Axial plane. Brain.
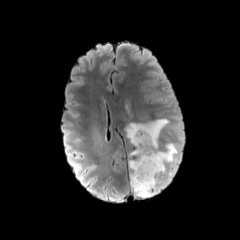
FLAIR MR.
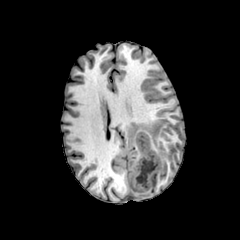
T1-weighted MR of the same slice.
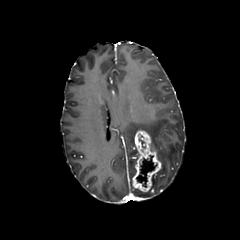
Same slice, post-contrast T1-weighted MR.
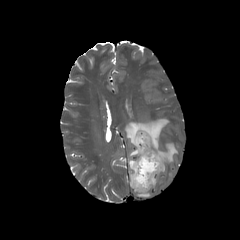
T2-weighted MR of the same slice.
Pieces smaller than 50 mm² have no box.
enhancing tumor: bounding box bbox=[132, 130, 161, 191]
necrotic tumor core: bounding box bbox=[136, 155, 157, 187]
peritumoral edema: bounding box bbox=[129, 160, 152, 197]; bbox=[125, 119, 177, 174]